Head, Image size 240x240
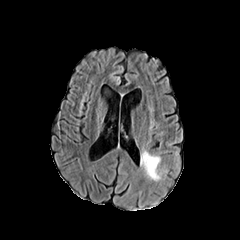
FLAIR magnetic resonance.
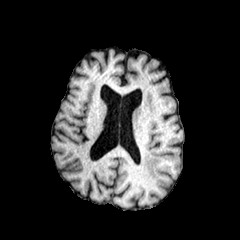
T1-weighted MR image.
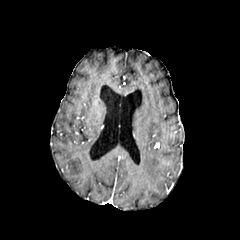
Post-contrast T1-weighted MR image.
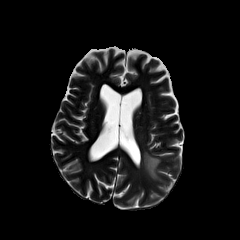
T2-weighted MR image.
The peritumoral edema lies within (140, 151, 160, 180).